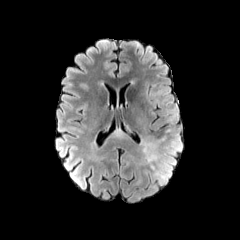
FLAIR MRI.
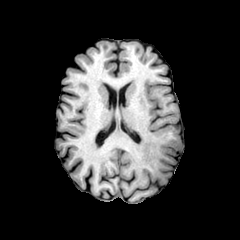
Same slice, T1-weighted MR.
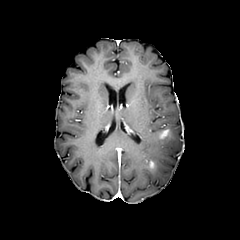
Post-contrast T1-weighted MR image.
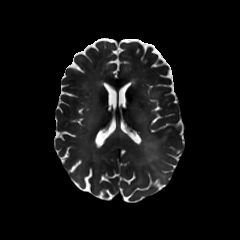
T2-weighted MR image.
Head
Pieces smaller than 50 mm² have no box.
enhancing tumor: {"x1": 160, "y1": 128, "x2": 169, "y2": 138}
peritumoral edema: {"x1": 142, "y1": 141, "x2": 167, "y2": 181}